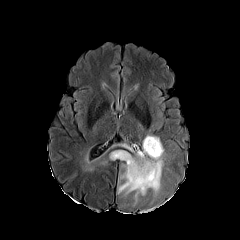
FLAIR MR image.
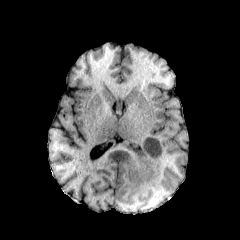
T1-weighted magnetic resonance.
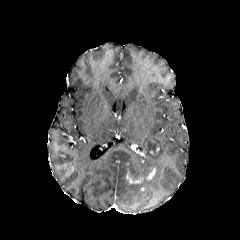
Post-contrast T1-weighted magnetic resonance.
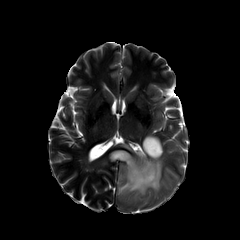
Same slice, T2-weighted MR.
Head. Image size 240x240.
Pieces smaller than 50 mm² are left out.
enhancing tumor at region(146, 168, 155, 180); region(126, 171, 143, 183)
necrotic tumor core at region(146, 140, 158, 155); region(129, 168, 148, 179)
peritumoral edema at region(109, 135, 163, 199)